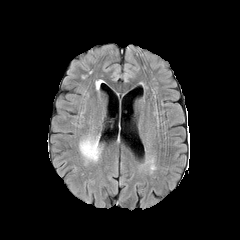
FLAIR MR.
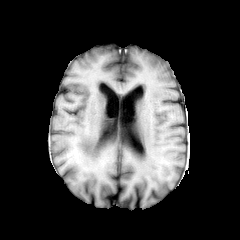
Same slice, T1-weighted MR image.
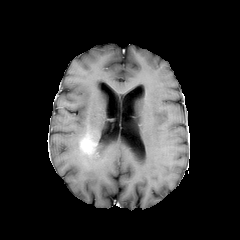
Same slice, post-contrast T1-weighted MR.
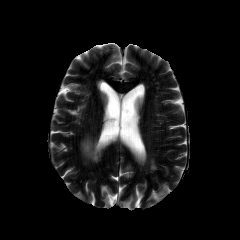
T2-weighted magnetic resonance of the same slice.
Head
<segmentation>
  <enhancing_tumor>(80, 137, 97, 157)</enhancing_tumor>
  <peritumoral_edema>(79, 134, 101, 162)</peritumoral_edema>
</segmentation>